Image width 240 mm | Slice index 114
FLAIR MR.
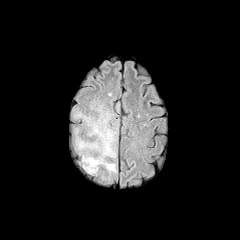
T1-weighted MR.
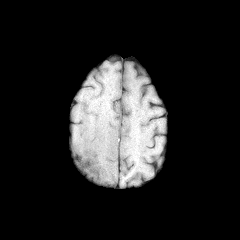
Post-contrast T1-weighted MRI.
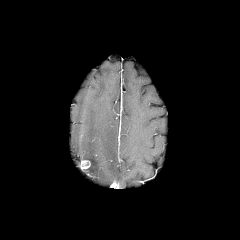
T2-weighted MR image.
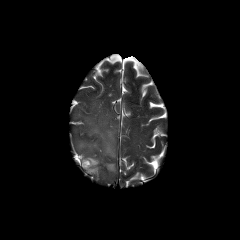
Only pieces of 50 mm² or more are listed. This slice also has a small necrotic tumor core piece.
The enhancing tumor is bounded by [x1=80, y1=160, x2=90, y2=169]. The largest peritumoral edema region lies within [x1=75, y1=105, x2=117, y2=175].